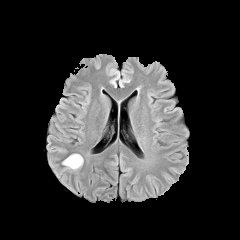
FLAIR MR.
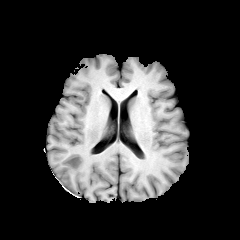
T1-weighted magnetic resonance.
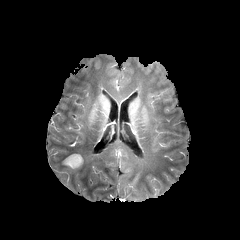
Post-contrast T1-weighted MRI.
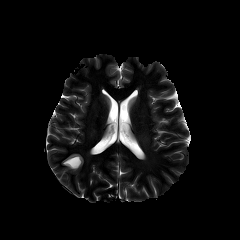
T2-weighted MRI.
240x240. Head.
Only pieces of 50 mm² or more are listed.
peritumoral edema: bounding box x1=62, y1=157, x2=83, y2=170
enhancing tumor: bounding box x1=64, y1=154, x2=82, y2=168